240x240. Slice 99 of 155.
FLAIR magnetic resonance.
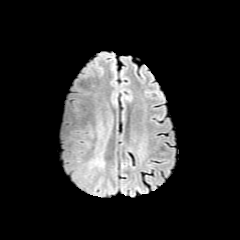
T1-weighted MR image.
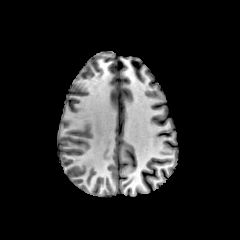
Post-contrast T1-weighted MR.
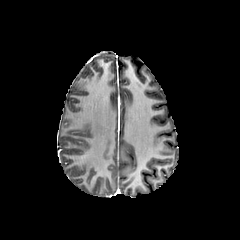
T2-weighted magnetic resonance.
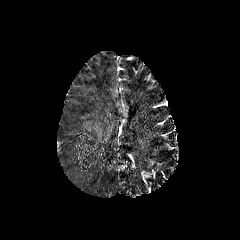
peritumoral edema = (x1=89, y1=120, x2=113, y2=171)